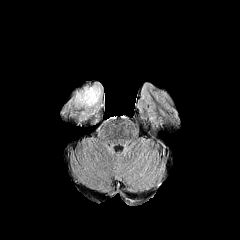
FLAIR MR image.
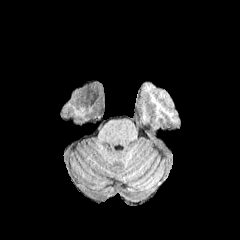
T1-weighted MR image.
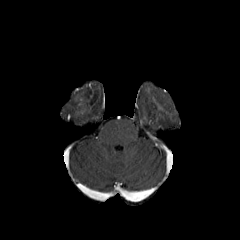
Post-contrast T1-weighted MRI of the same slice.
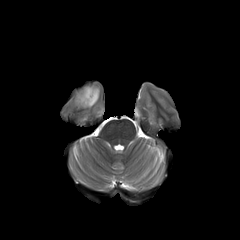
Same slice, T2-weighted magnetic resonance.
Axial plane; 240x240; Head
peritumoral edema: x1=74, y1=85, x2=101, y2=119
necrotic tumor core: x1=85, y1=89, x2=98, y2=104